FLAIR MR.
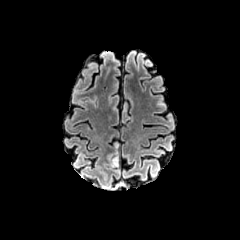
T1-weighted MR.
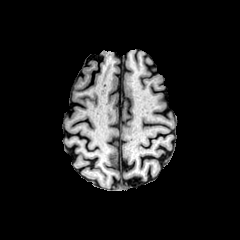
Post-contrast T1-weighted MRI.
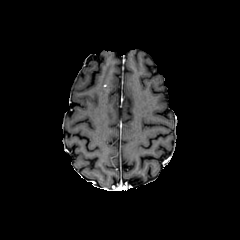
T2-weighted magnetic resonance.
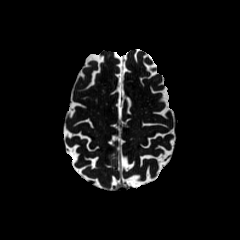
Axial slice. Brain.
The peritumoral edema is bounded by 108, 139, 119, 166.